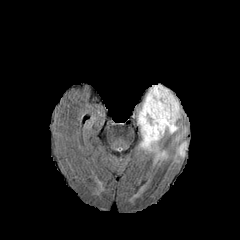
FLAIR magnetic resonance.
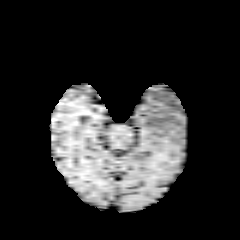
T1-weighted MR image of the same slice.
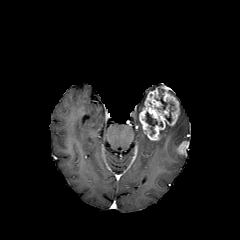
Post-contrast T1-weighted MR.
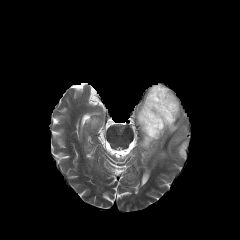
T2-weighted MRI of the same slice.
Axial view
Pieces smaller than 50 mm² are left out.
Findings:
• necrotic tumor core: [165,102,174,122], [159,94,167,109], [145,112,157,135]
• enhancing tumor: [177,141,188,154], [139,86,179,140]
• peritumoral edema: [160,122,185,139], [137,103,167,162]